Head, Image width 240 mm, 1.00 mm slice spacing, Slice 111/155
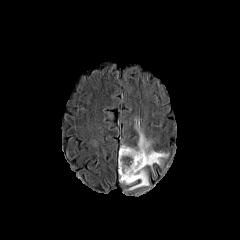
FLAIR MR.
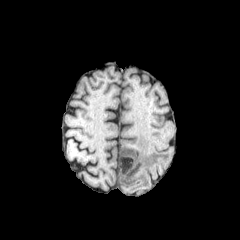
Same slice, T1-weighted magnetic resonance.
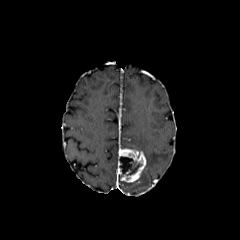
Post-contrast T1-weighted MR of the same slice.
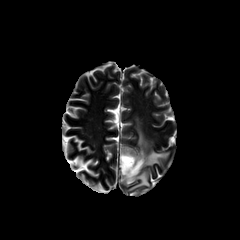
T2-weighted MR of the same slice.
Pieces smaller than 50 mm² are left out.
Findings:
• peritumoral edema: left=135, top=119, right=169, bottom=169; left=126, top=169, right=149, bottom=191
• necrotic tumor core: left=120, top=156, right=141, bottom=174
• enhancing tumor: left=118, top=148, right=146, bottom=182